Image size 240x240 | Brain | Axial plane
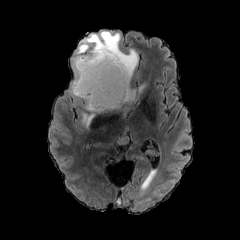
FLAIR magnetic resonance.
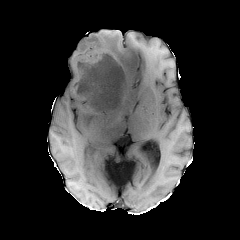
T1-weighted magnetic resonance.
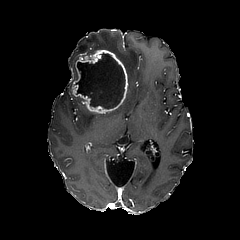
Same slice, post-contrast T1-weighted MRI.
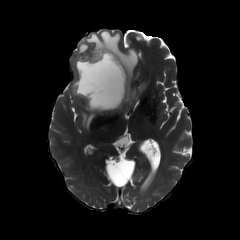
T2-weighted MRI.
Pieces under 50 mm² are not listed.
Findings:
• peritumoral edema: (x1=81, y1=112, x2=96, y2=128), (x1=71, y1=31, x2=145, y2=110)
• enhancing tumor: (x1=72, y1=49, x2=128, y2=113)
• necrotic tumor core: (x1=76, y1=53, x2=124, y2=108)